Axial view | Head
FLAIR MRI.
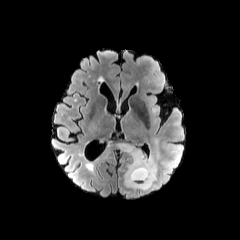
T1-weighted magnetic resonance.
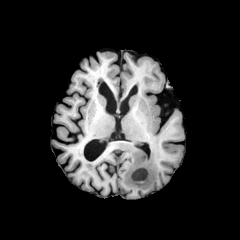
Post-contrast T1-weighted MR image.
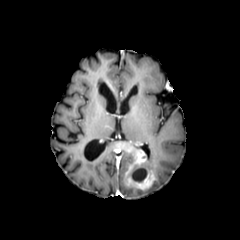
T2-weighted MR image.
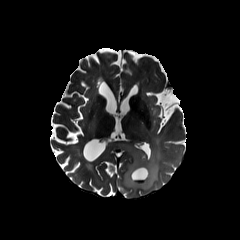
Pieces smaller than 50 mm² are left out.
The largest peritumoral edema region lies within region(123, 140, 161, 196). The necrotic tumor core is bounded by region(131, 165, 147, 182). The enhancing tumor lies within region(116, 143, 156, 189).